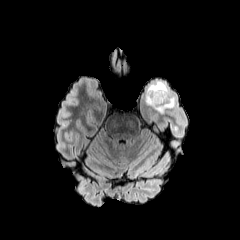
FLAIR magnetic resonance.
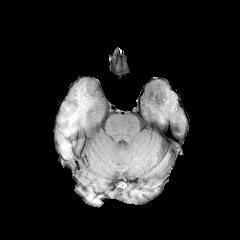
T1-weighted MR of the same slice.
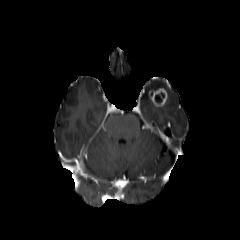
Same slice, post-contrast T1-weighted MR image.
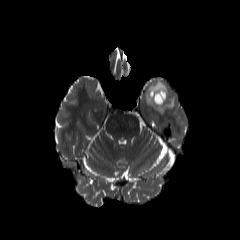
T2-weighted MRI of the same slice.
240x240 px | Axial view
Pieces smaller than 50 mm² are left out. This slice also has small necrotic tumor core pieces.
{"enhancing_tumor": ["x1=149 y1=88 x2=167 y2=107"], "peritumoral_edema": ["x1=145 y1=80 x2=176 y2=113"]}